FLAIR MRI.
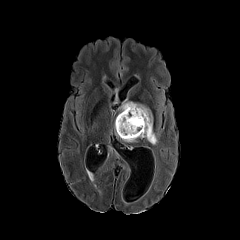
T1-weighted MR image.
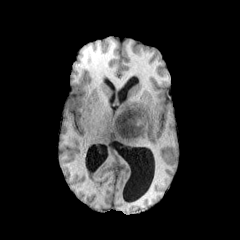
Post-contrast T1-weighted MRI.
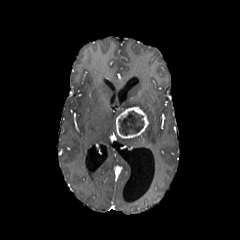
T2-weighted magnetic resonance.
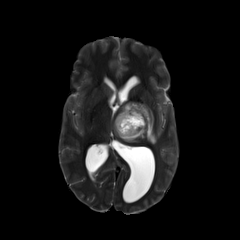
Head, Axial plane
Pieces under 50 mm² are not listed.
enhancing tumor: box(116, 107, 148, 138) | peritumoral edema: box(120, 102, 157, 144) | necrotic tumor core: box(119, 110, 144, 135)